Slice 124 of 155 | Axial slice | 240x240
FLAIR MR image.
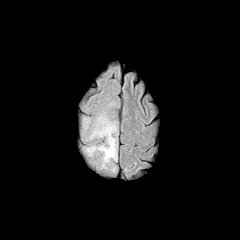
T1-weighted MRI.
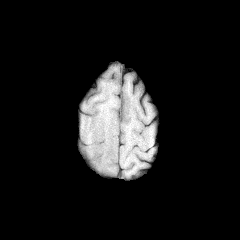
Post-contrast T1-weighted MR.
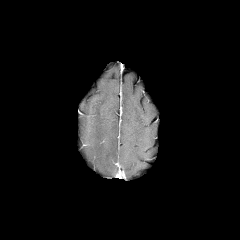
T2-weighted MR.
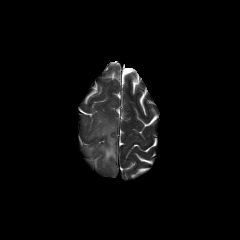
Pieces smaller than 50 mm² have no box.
peritumoral_edema:
  - bbox=[86, 115, 117, 168]